Brain. 240x240 px. Slice index 103.
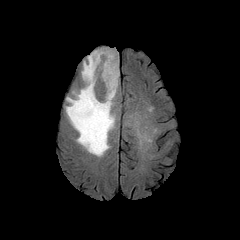
FLAIR MR.
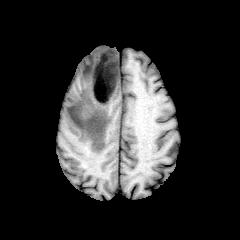
T1-weighted magnetic resonance.
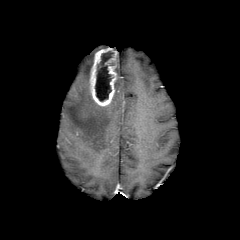
Same slice, post-contrast T1-weighted MR.
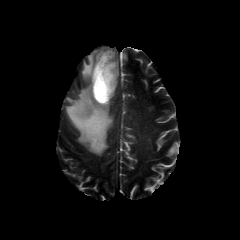
Same slice, T2-weighted MR.
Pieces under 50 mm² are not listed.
{"necrotic_tumor_core": ["left=95, top=51, right=113, bottom=101"], "enhancing_tumor": ["left=90, top=47, right=117, bottom=106"], "peritumoral_edema": ["left=65, top=49, right=119, bottom=156"]}